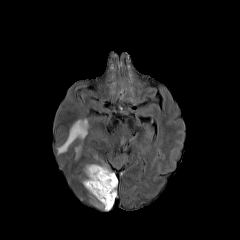
FLAIR MR image.
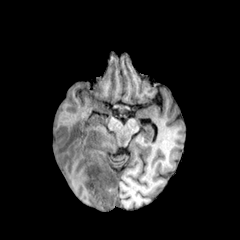
T1-weighted magnetic resonance.
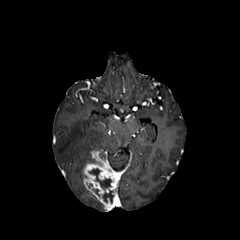
Post-contrast T1-weighted MR.
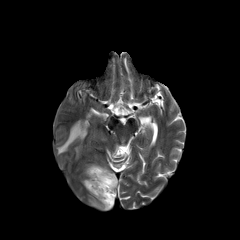
Same slice, T2-weighted MR image.
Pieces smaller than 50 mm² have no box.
enhancing tumor: bounding box 83, 151, 118, 211
necrotic tumor core: bounding box 103, 191, 113, 203; 89, 168, 111, 188
peritumoral edema: bounding box 57, 119, 88, 154